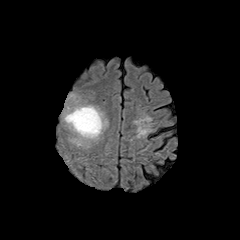
FLAIR MR.
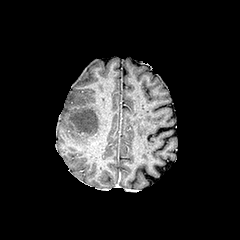
T1-weighted magnetic resonance of the same slice.
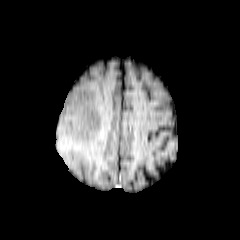
Post-contrast T1-weighted magnetic resonance of the same slice.
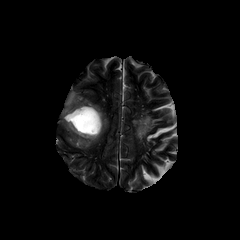
T2-weighted magnetic resonance.
Axial plane
peritumoral_edema:
  - [x1=63, y1=93, x2=107, y2=147]
necrotic_tumor_core:
  - [x1=66, y1=108, x2=100, y2=133]